FLAIR magnetic resonance.
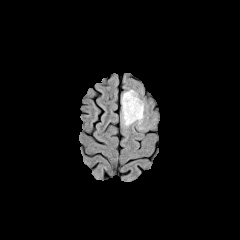
T1-weighted MRI.
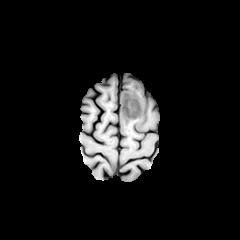
Post-contrast T1-weighted magnetic resonance.
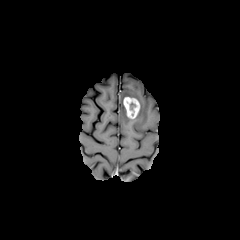
T2-weighted MRI.
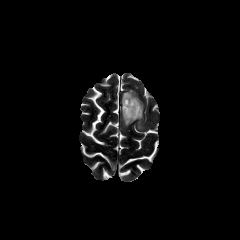
Axial plane
The peritumoral edema lies within box(121, 89, 144, 129). The necrotic tumor core is at box(129, 103, 135, 115). The enhancing tumor lies within box(123, 96, 140, 119).